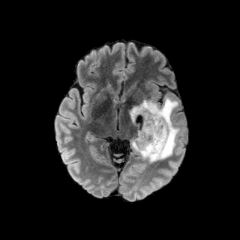
FLAIR magnetic resonance.
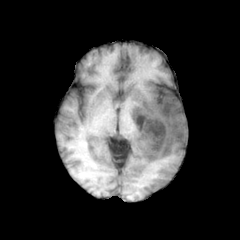
T1-weighted MR image of the same slice.
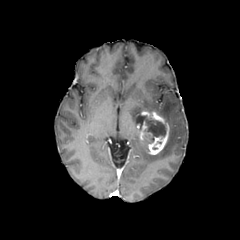
Same slice, post-contrast T1-weighted MR image.
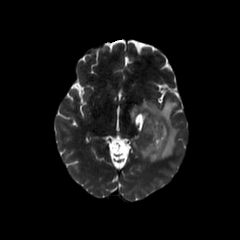
Same slice, T2-weighted MR.
Axial view, Head
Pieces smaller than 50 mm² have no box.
necrotic tumor core — rect(146, 119, 165, 142)
peritumoral edema — rect(130, 97, 180, 161)
enhancing tumor — rect(138, 110, 169, 155)